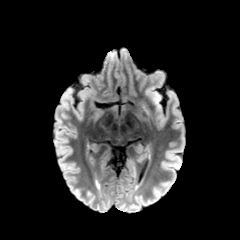
FLAIR MR image.
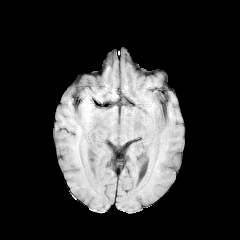
Same slice, T1-weighted MR.
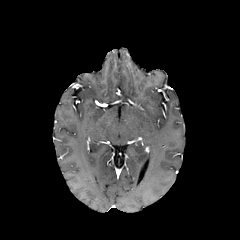
Post-contrast T1-weighted MR image.
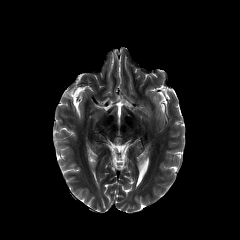
T2-weighted MRI.
Axial slice. Brain.
Annotated regions:
• peritumoral edema: (153,96,159,109)